FLAIR MR.
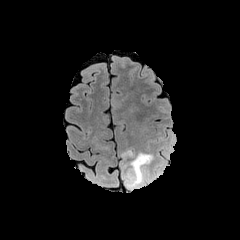
T1-weighted MR.
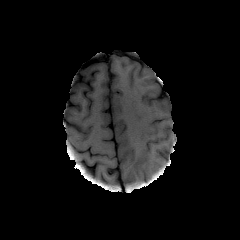
Post-contrast T1-weighted MR.
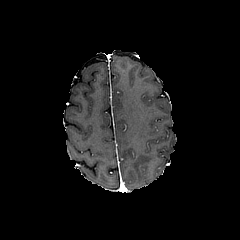
T2-weighted MR.
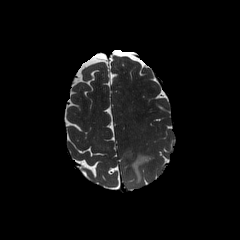
Image size 240x240; Axial view; Brain
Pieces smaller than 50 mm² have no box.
peritumoral_edema:
  - left=121, top=148, right=133, bottom=161
  - left=122, top=152, right=153, bottom=190